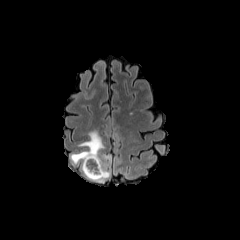
FLAIR MR image.
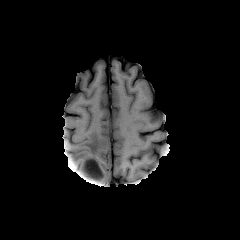
T1-weighted magnetic resonance.
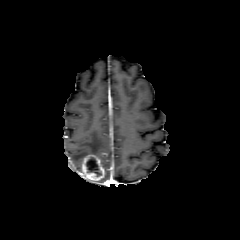
Same slice, post-contrast T1-weighted MRI.
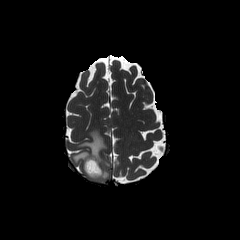
T2-weighted magnetic resonance.
Brain; Axial slice
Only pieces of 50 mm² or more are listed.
peritumoral edema: 71, 130, 110, 182 | enhancing tumor: 80, 154, 105, 180 | necrotic tumor core: 86, 157, 101, 176